Head
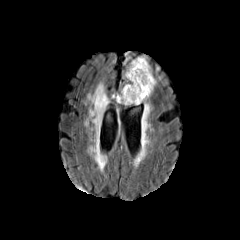
FLAIR MR.
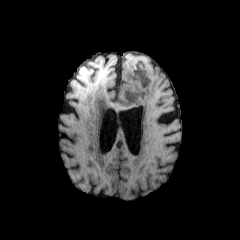
Same slice, T1-weighted magnetic resonance.
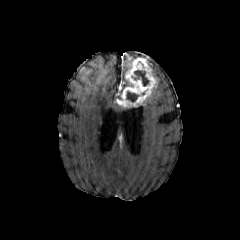
Post-contrast T1-weighted MR image.
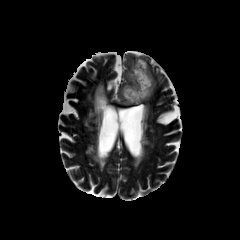
Same slice, T2-weighted MR image.
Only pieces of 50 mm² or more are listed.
• enhancing tumor: l=115, t=57, r=157, b=107
• peritumoral edema: l=122, t=55, r=133, b=70; l=119, t=80, r=128, b=92
• necrotic tumor core: l=126, t=91, r=138, b=102; l=134, t=70, r=149, b=86